Image width 240 mm, 1.00 mm slice spacing | Head
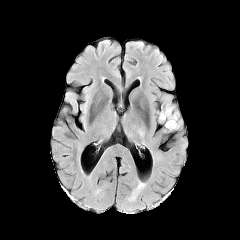
FLAIR MR.
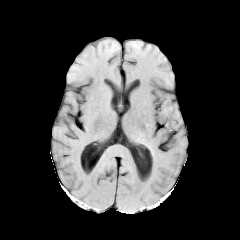
T1-weighted MRI.
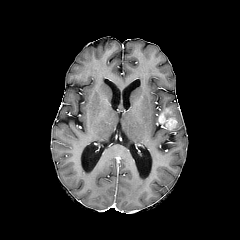
Post-contrast T1-weighted MR image.
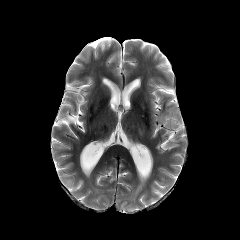
T2-weighted magnetic resonance of the same slice.
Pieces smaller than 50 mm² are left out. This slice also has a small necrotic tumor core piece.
peritumoral_edema:
  - <bbox>166, 103, 182, 130</bbox>
enhancing_tumor:
  - <bbox>158, 108, 177, 130</bbox>